Slice 117/155, Axial view, Head
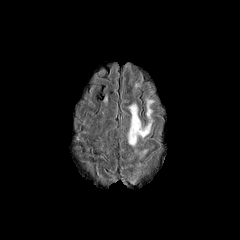
FLAIR magnetic resonance.
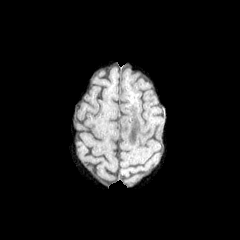
Same slice, T1-weighted magnetic resonance.
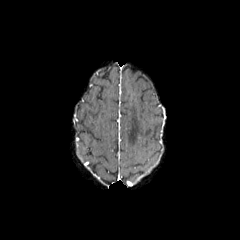
Post-contrast T1-weighted MRI.
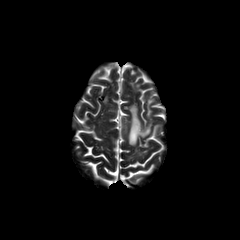
Same slice, T2-weighted MRI.
peritumoral edema: (left=127, top=100, right=153, bottom=145)